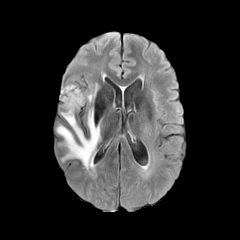
FLAIR MR image.
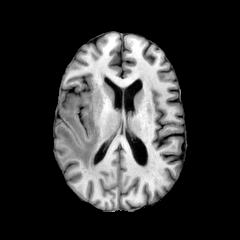
T1-weighted MR of the same slice.
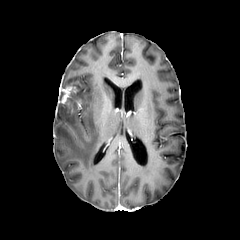
Same slice, post-contrast T1-weighted magnetic resonance.
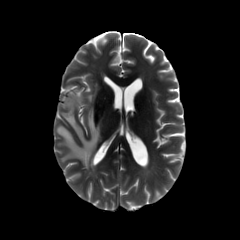
T2-weighted MR.
Axial plane.
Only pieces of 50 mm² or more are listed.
enhancing tumor: 61, 86, 77, 103 | peritumoral edema: 56, 89, 100, 174; 86, 92, 95, 102